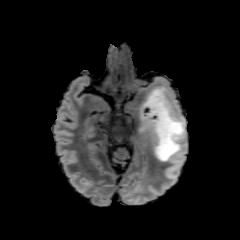
FLAIR MRI.
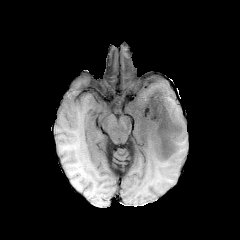
Same slice, T1-weighted magnetic resonance.
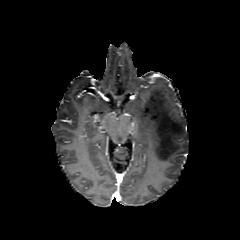
Post-contrast T1-weighted MR.
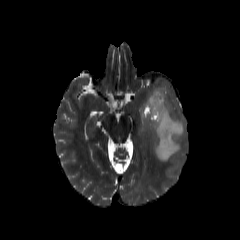
Same slice, T2-weighted MR.
Head
peritumoral_edema:
  - (left=138, top=85, right=186, bottom=161)